FLAIR MR image.
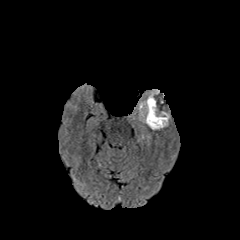
T1-weighted magnetic resonance.
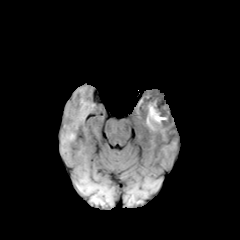
Post-contrast T1-weighted magnetic resonance.
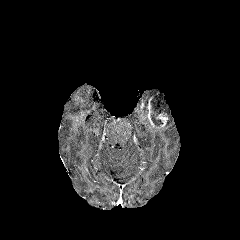
T2-weighted magnetic resonance.
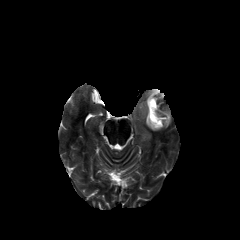
Axial slice. Image size 240x240. Head.
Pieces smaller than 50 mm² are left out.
The enhancing tumor is located at <bbox>140, 97, 168, 128</bbox>. The necrotic tumor core is at <bbox>150, 94, 165, 126</bbox>. The 2 largest peritumoral edema regions appear at <bbox>164, 104, 170, 127</bbox>, <bbox>135, 89, 164, 130</bbox>.